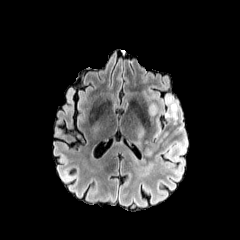
FLAIR MRI.
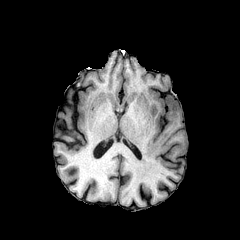
T1-weighted MR image.
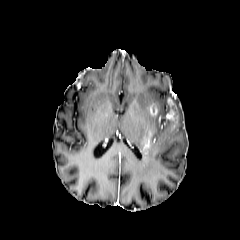
Post-contrast T1-weighted MRI.
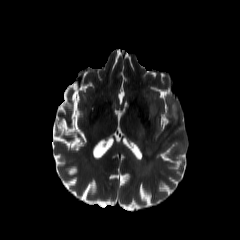
T2-weighted MRI.
Head.
3 enhancing tumor regions are bounded by bbox=[166, 97, 175, 121]; bbox=[143, 131, 152, 154]; bbox=[149, 103, 158, 116]. 2 peritumoral edema regions appear at bbox=[143, 91, 188, 173]; bbox=[138, 127, 145, 137].